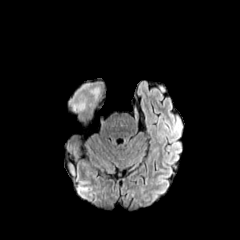
FLAIR magnetic resonance.
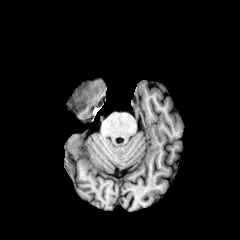
T1-weighted MRI.
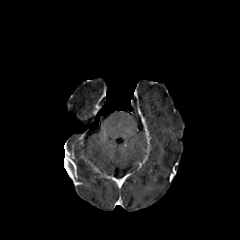
Post-contrast T1-weighted MR.
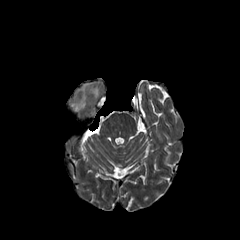
T2-weighted MR of the same slice.
Brain
peritumoral edema — (69, 83, 100, 112)